FLAIR MRI.
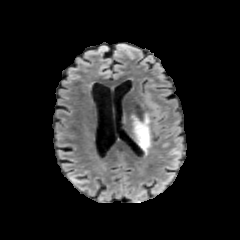
T1-weighted magnetic resonance.
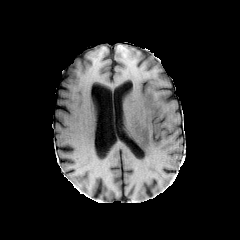
Post-contrast T1-weighted MR.
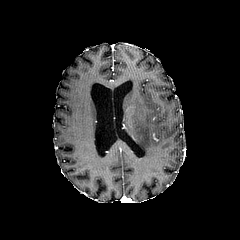
T2-weighted magnetic resonance.
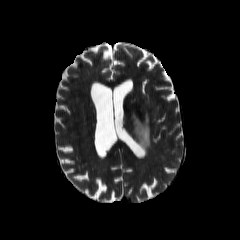
Brain | 240x240 px | Axial plane
peritumoral_edema:
  - box=[122, 112, 150, 155]